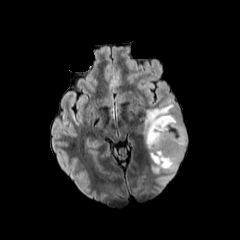
FLAIR MRI.
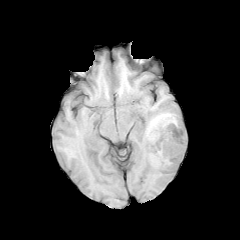
T1-weighted MR.
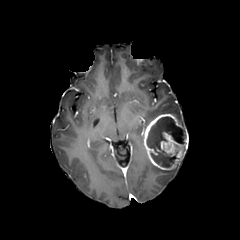
Same slice, post-contrast T1-weighted MRI.
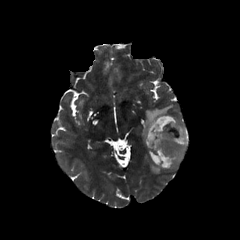
T2-weighted MR of the same slice.
Axial plane. Brain.
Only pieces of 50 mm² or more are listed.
The largest enhancing tumor region lies within x1=142 y1=114 x2=188 y2=170. The necrotic tumor core is at x1=147 y1=116 x2=185 y2=167. The 2 largest peritumoral edema regions are located at x1=144 y1=103 x2=173 y2=128, x1=151 y1=161 x2=180 y2=174.